Axial view; Brain
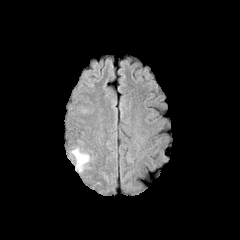
FLAIR MR.
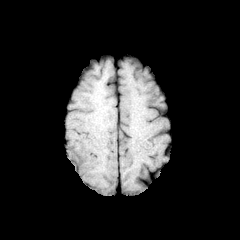
T1-weighted MR.
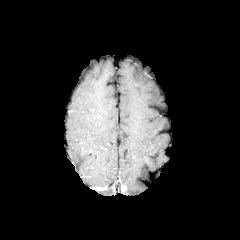
Same slice, post-contrast T1-weighted MR image.
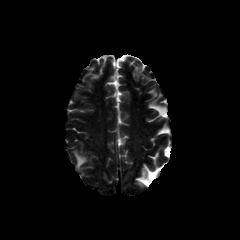
Same slice, T2-weighted MRI.
{
  "peritumoral_edema": [
    "box(72, 149, 88, 171)"
  ]
}